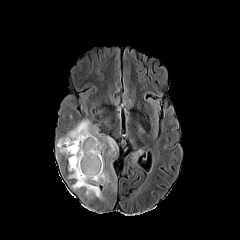
FLAIR MRI.
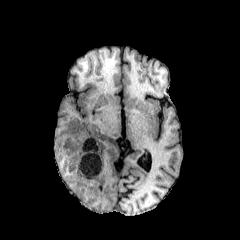
T1-weighted magnetic resonance of the same slice.
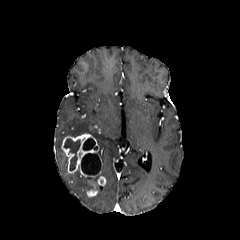
Same slice, post-contrast T1-weighted MR image.
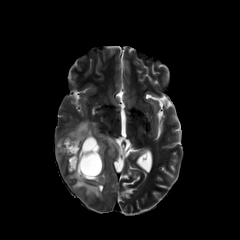
T2-weighted MRI.
Axial view. Head.
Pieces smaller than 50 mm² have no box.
necrotic tumor core: x1=64 y1=139 x2=80 y2=170, x1=81 y1=153 x2=101 y2=175, x1=82 y1=138 x2=97 y2=150 | enhancing tumor: x1=87 y1=180 x2=97 y2=197, x1=62 y1=134 x2=101 y2=179, x1=97 y1=176 x2=105 y2=185 | peritumoral edema: x1=56 y1=119 x2=117 y2=190, x1=90 y1=178 x2=103 y2=199, x1=68 y1=170 x2=92 y2=194